240x240 px; Axial plane; Brain
FLAIR magnetic resonance.
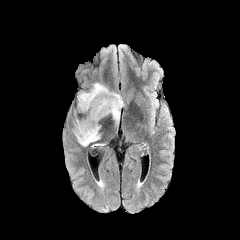
T1-weighted MR image.
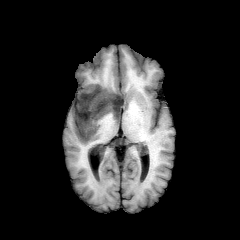
Post-contrast T1-weighted MRI.
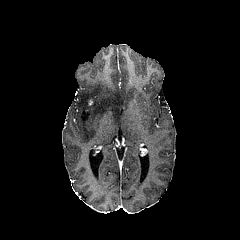
T2-weighted MR image.
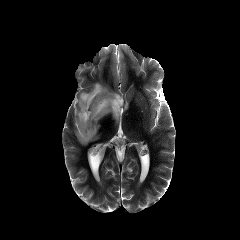
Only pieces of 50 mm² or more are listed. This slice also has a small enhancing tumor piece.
The peritumoral edema is located at [x1=73, y1=83, x2=124, y2=146].